FLAIR MR image.
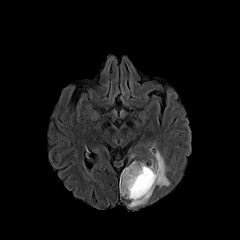
T1-weighted MRI.
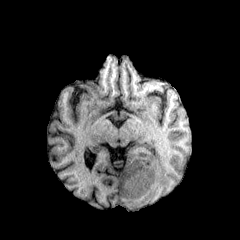
Post-contrast T1-weighted MR image.
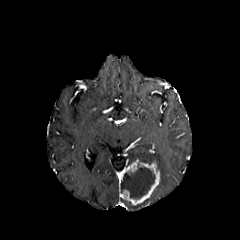
T2-weighted MRI.
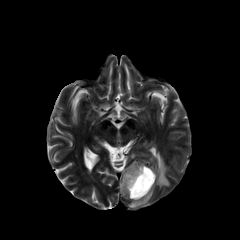
Head, Axial view
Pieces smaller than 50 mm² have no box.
enhancing tumor: bounding box (119, 160, 160, 205)
peritumoral edema: bounding box (127, 198, 149, 207), (150, 150, 170, 188)
necrotic tumor core: bounding box (121, 167, 155, 198)